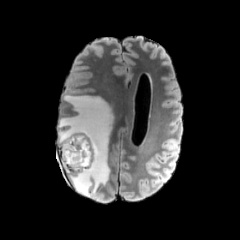
FLAIR MR.
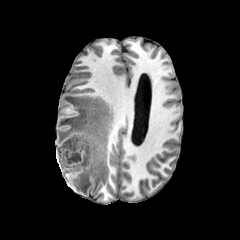
T1-weighted magnetic resonance of the same slice.
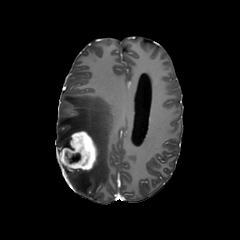
Post-contrast T1-weighted MRI.
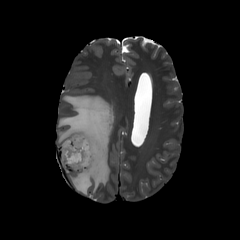
T2-weighted MR image.
Head | 240x240
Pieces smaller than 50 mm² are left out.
necrotic_tumor_core:
  - l=68, t=153, r=80, b=163
peritumoral_edema:
  - l=57, t=94, r=113, b=196
enhancing_tumor:
  - l=59, t=130, r=97, b=171